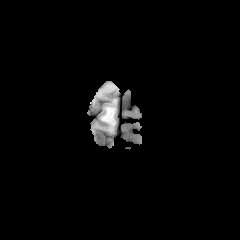
FLAIR magnetic resonance.
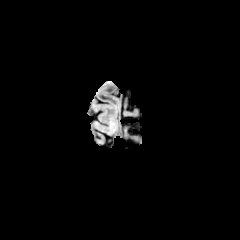
T1-weighted MR image.
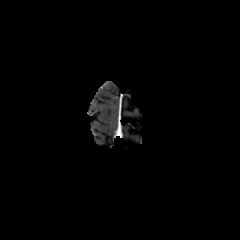
Same slice, post-contrast T1-weighted MRI.
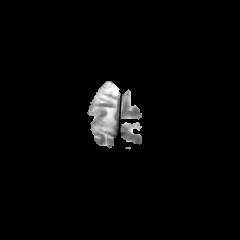
T2-weighted MRI of the same slice.
Axial plane; Brain
- peritumoral edema: 97, 98, 117, 132; 97, 83, 117, 99